FLAIR magnetic resonance.
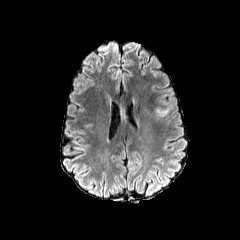
T1-weighted MR image.
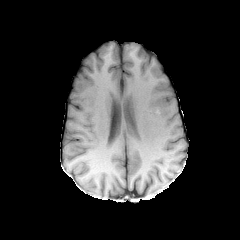
Post-contrast T1-weighted MR.
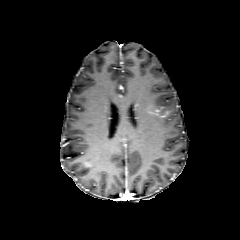
T2-weighted MRI.
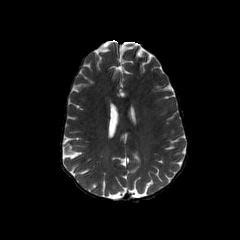
240x240. Head.
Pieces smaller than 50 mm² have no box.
enhancing tumor: [x1=156, y1=106, x2=169, y2=117]